FLAIR magnetic resonance.
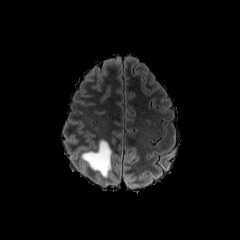
T1-weighted magnetic resonance.
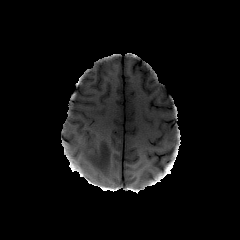
Post-contrast T1-weighted MR.
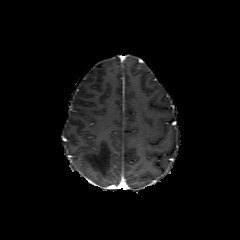
T2-weighted MRI.
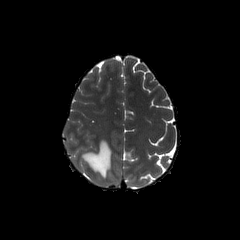
240x240, Brain
The peritumoral edema is at x1=81, y1=139, x2=111, y2=177.